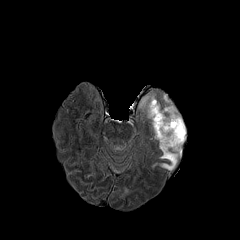
FLAIR MRI.
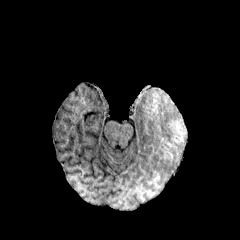
T1-weighted magnetic resonance of the same slice.
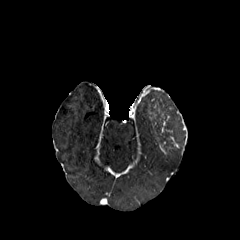
Post-contrast T1-weighted magnetic resonance of the same slice.
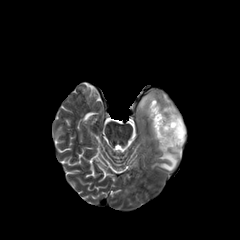
T2-weighted magnetic resonance.
240x240. Axial plane.
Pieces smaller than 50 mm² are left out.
Findings:
- peritumoral edema: (left=160, top=145, right=181, bottom=170), (left=162, top=105, right=176, bottom=112)
- enhancing tumor: (left=159, top=141, right=166, bottom=154)
- necrotic tumor core: (left=149, top=102, right=185, bottom=152)